240x240 px; Brain
FLAIR magnetic resonance.
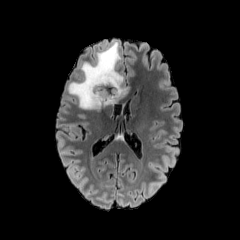
T1-weighted MR.
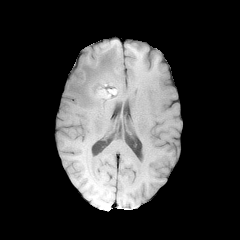
Post-contrast T1-weighted MRI.
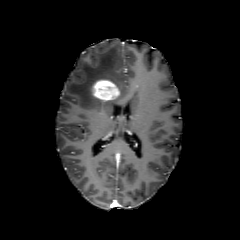
T2-weighted MRI.
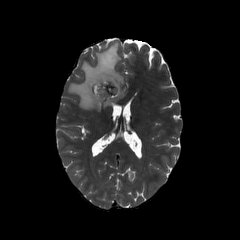
* necrotic tumor core: 98,85,115,97
* peritumoral edema: 68,42,127,110
* enhancing tumor: 91,79,120,101